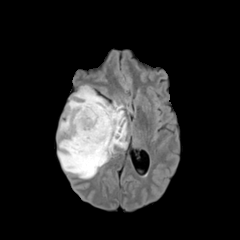
FLAIR MR.
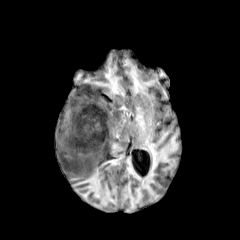
Same slice, T1-weighted MRI.
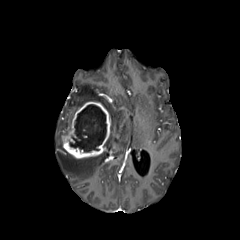
Post-contrast T1-weighted magnetic resonance of the same slice.
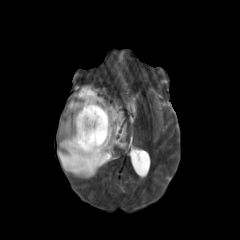
T2-weighted MR of the same slice.
Image size 240x240, Axial slice
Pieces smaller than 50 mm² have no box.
peritumoral edema: (58, 150, 108, 178), (59, 85, 127, 152) | enhancing tumor: (61, 101, 110, 159) | necrotic tumor core: (70, 104, 106, 152)